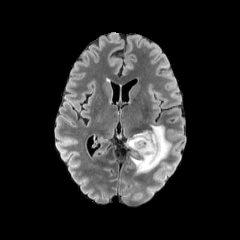
FLAIR magnetic resonance.
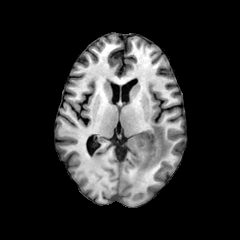
T1-weighted magnetic resonance.
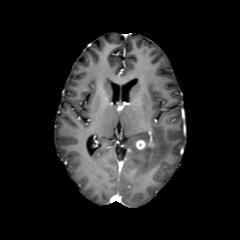
Post-contrast T1-weighted MR.
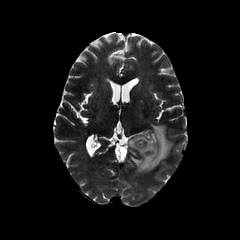
T2-weighted MRI.
Axial plane
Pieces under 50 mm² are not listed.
The enhancing tumor is located at x1=135 y1=139 x2=154 y2=149. The largest peritumoral edema region is at x1=125 y1=125 x2=171 y2=181.